Image width 240 mm, 1.00 mm slice spacing
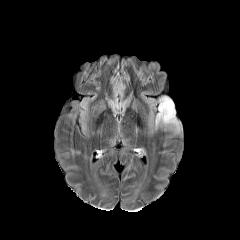
FLAIR MR.
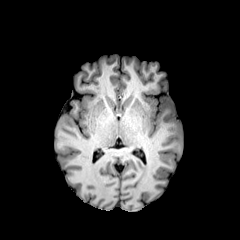
T1-weighted magnetic resonance.
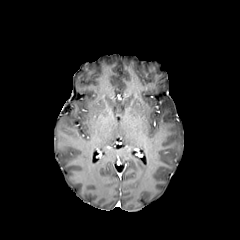
Post-contrast T1-weighted MR image.
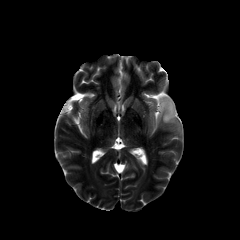
T2-weighted magnetic resonance.
peritumoral edema: [156, 96, 180, 131]